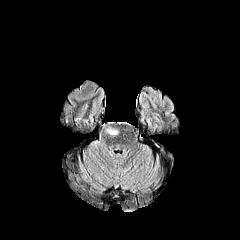
FLAIR MRI.
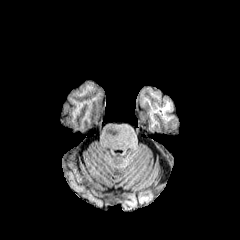
Same slice, T1-weighted magnetic resonance.
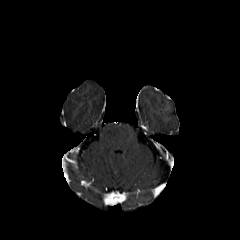
Post-contrast T1-weighted magnetic resonance.
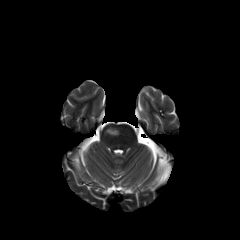
T2-weighted MR of the same slice.
Axial plane
peritumoral edema at left=106, top=127, right=118, bottom=135